Axial view, Head
FLAIR magnetic resonance.
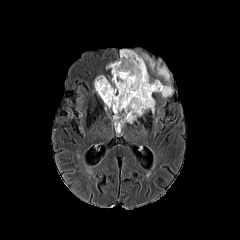
T1-weighted MR image.
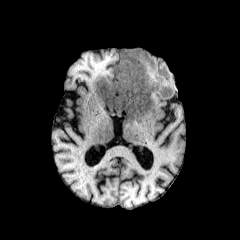
Post-contrast T1-weighted MR image.
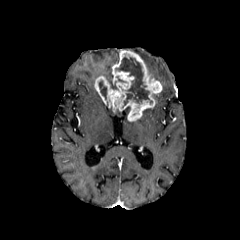
T2-weighted MR.
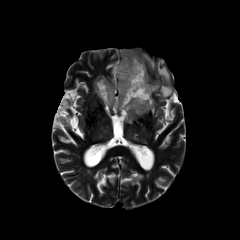
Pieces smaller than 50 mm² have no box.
necrotic tumor core at [116,57,149,105], [99,80,106,99]
peritumoral edema at [140,54,173,97], [109,75,117,89], [122,106,132,123]
enhancing tumor at [94,50,162,121]